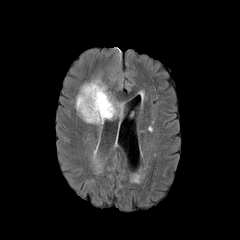
FLAIR MR.
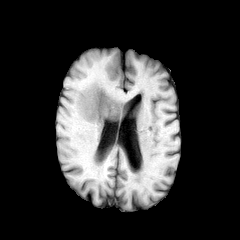
T1-weighted MRI of the same slice.
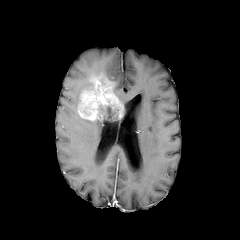
Same slice, post-contrast T1-weighted MR.
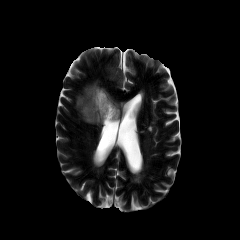
Same slice, T2-weighted MR image.
Axial plane
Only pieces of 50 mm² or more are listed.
enhancing_tumor:
  - bbox(78, 78, 123, 125)
necrotic_tumor_core:
  - bbox(104, 106, 117, 118)
peritumoral_edema:
  - bbox(76, 81, 92, 110)